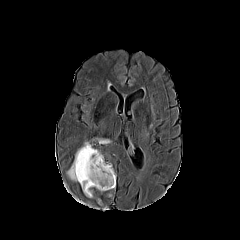
FLAIR MR image.
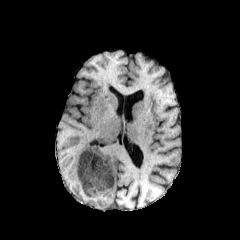
T1-weighted magnetic resonance.
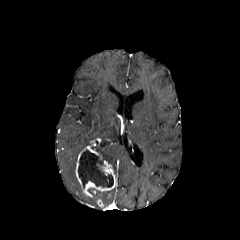
Post-contrast T1-weighted MR.
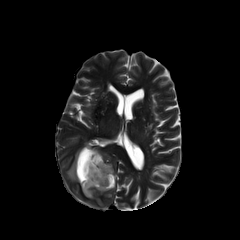
Same slice, T2-weighted magnetic resonance.
Brain
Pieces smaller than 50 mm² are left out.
The largest peritumoral edema region is bounded by 67:142:89:181. The largest enhancing tumor region is bounded by 75:145:115:197. The necrotic tumor core is at 78:150:113:187.